FLAIR MRI.
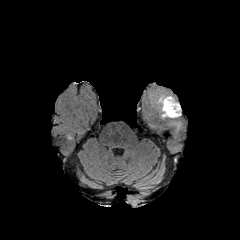
T1-weighted magnetic resonance.
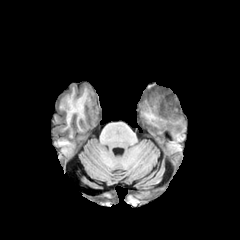
Post-contrast T1-weighted MRI.
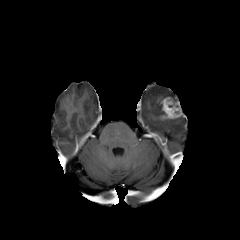
T2-weighted MRI.
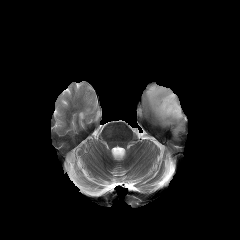
240x240 px.
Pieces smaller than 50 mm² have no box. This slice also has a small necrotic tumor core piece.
peritumoral_edema:
  - bbox(156, 96, 177, 110)
enhancing_tumor:
  - bbox(160, 97, 182, 118)